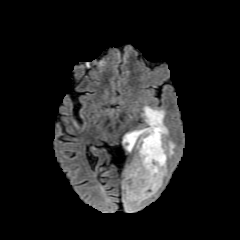
FLAIR MRI.
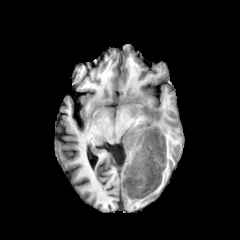
T1-weighted MR of the same slice.
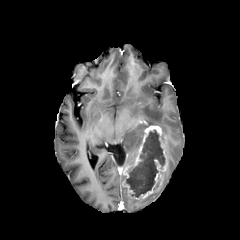
Post-contrast T1-weighted MRI of the same slice.
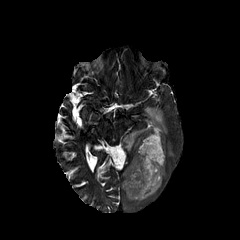
T2-weighted MR of the same slice.
Head.
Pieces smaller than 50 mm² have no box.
necrotic tumor core: (126,130,165,197)
enhancing tumor: (122,125,167,199)
peritumoral edema: (166,142,174,157), (122,185,161,210), (143,106,168,138), (123,128,145,152)